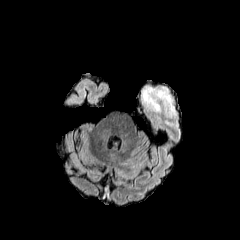
FLAIR magnetic resonance.
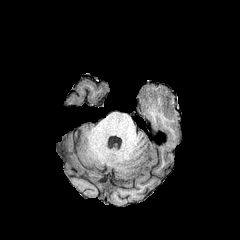
T1-weighted MRI.
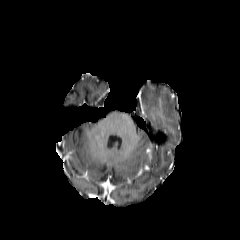
Same slice, post-contrast T1-weighted magnetic resonance.
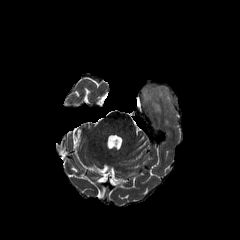
T2-weighted MR.
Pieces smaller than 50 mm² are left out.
peritumoral edema: bounding box 141:85:178:117